FLAIR MR image.
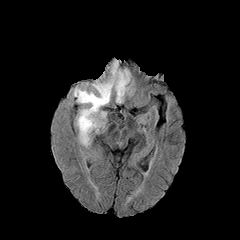
T1-weighted MR image.
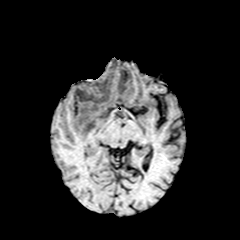
Post-contrast T1-weighted MRI.
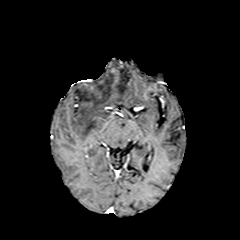
T2-weighted MRI.
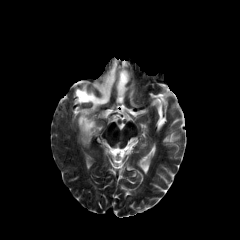
Head
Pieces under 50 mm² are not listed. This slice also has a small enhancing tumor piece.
- peritumoral edema: {"x1": 74, "y1": 61, "x2": 130, "y2": 145}